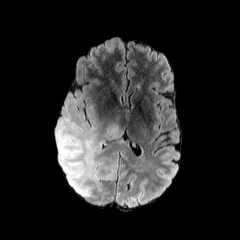
FLAIR MR.
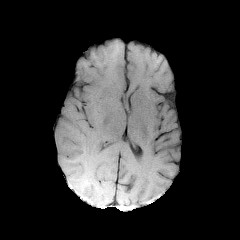
T1-weighted magnetic resonance.
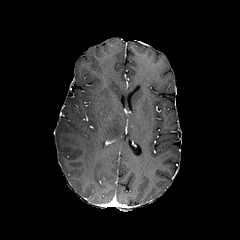
Same slice, post-contrast T1-weighted MRI.
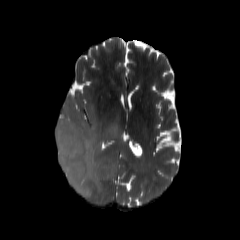
T2-weighted magnetic resonance.
Axial view
peritumoral edema — left=104, top=123, right=123, bottom=139; left=56, top=94, right=116, bottom=197